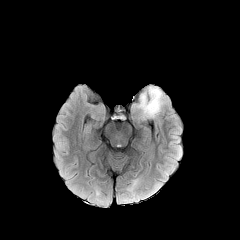
FLAIR MR.
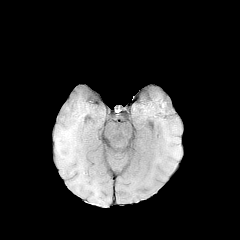
T1-weighted magnetic resonance.
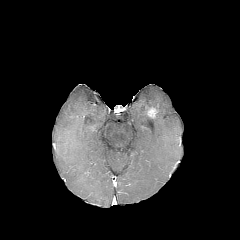
Post-contrast T1-weighted MRI of the same slice.
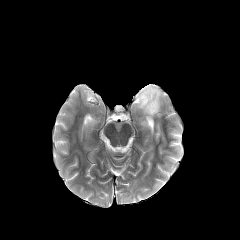
T2-weighted MR image.
The peritumoral edema appears at (134,86,164,118). The enhancing tumor lies within (147,107,157,118).